FLAIR MR image.
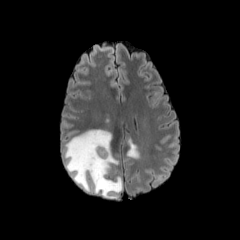
T1-weighted MRI.
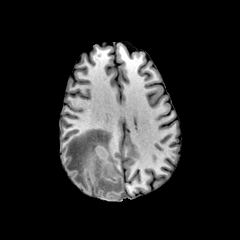
Post-contrast T1-weighted MR image.
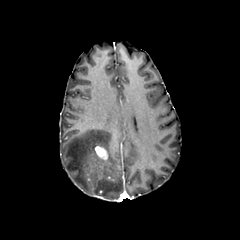
T2-weighted MR.
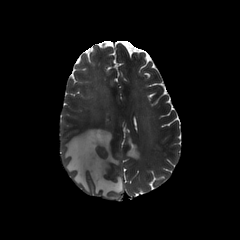
Axial view, Brain
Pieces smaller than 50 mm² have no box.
enhancing tumor at x1=94 y1=146 x2=107 y2=160
peritumoral edema at x1=64 y1=129 x2=122 y2=198, x1=127 y1=138 x2=139 y2=158